Image width 240 mm | Slice 101/155 | Axial plane
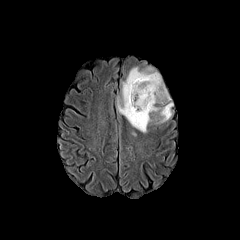
FLAIR MR image.
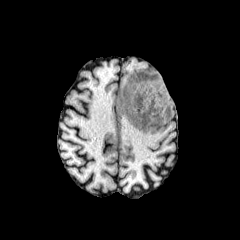
T1-weighted MR image.
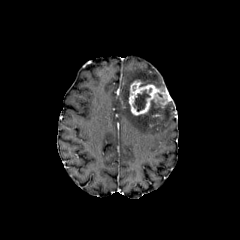
Post-contrast T1-weighted MR image.
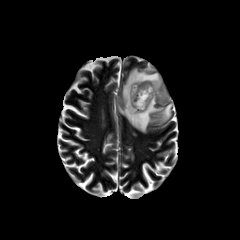
T2-weighted MRI.
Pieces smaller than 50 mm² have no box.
The largest necrotic tumor core region is at box=[133, 90, 150, 111]. The enhancing tumor appears at box=[129, 80, 168, 115]. The largest peritumoral edema region appears at box=[117, 67, 172, 133].